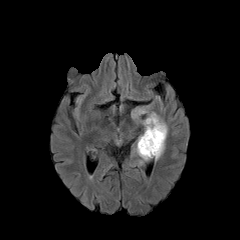
FLAIR MR image.
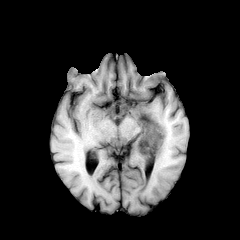
Same slice, T1-weighted magnetic resonance.
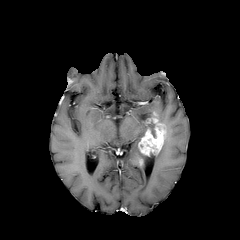
Same slice, post-contrast T1-weighted MR.
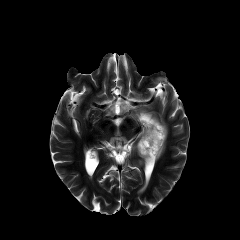
T2-weighted magnetic resonance.
Axial plane. Head.
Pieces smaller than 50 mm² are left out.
The 2 largest peritumoral edema regions appear at x1=154 y1=139 x2=165 y2=160, x1=131 y1=107 x2=152 y2=162. The largest enhancing tumor region is located at x1=138 y1=111 x2=166 y2=156. The necrotic tumor core lies within x1=148 y1=123 x2=156 y2=137.